Slice 111/155. Image size 240x240.
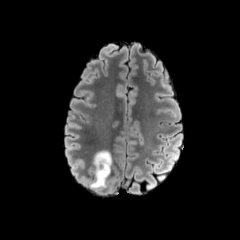
FLAIR MR.
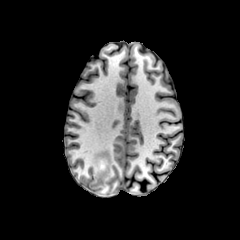
T1-weighted magnetic resonance.
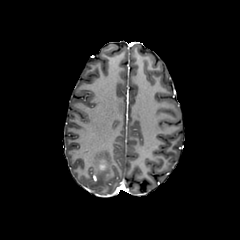
Post-contrast T1-weighted MRI.
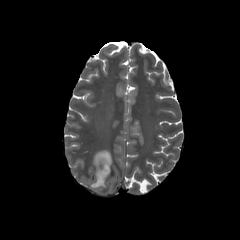
T2-weighted magnetic resonance of the same slice.
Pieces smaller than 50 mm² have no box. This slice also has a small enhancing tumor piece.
Findings:
* peritumoral edema: (left=89, top=149, right=112, bottom=190)